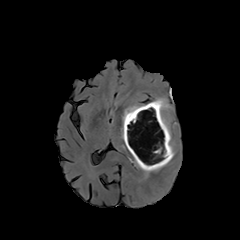
FLAIR MR image.
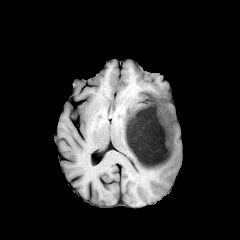
T1-weighted magnetic resonance.
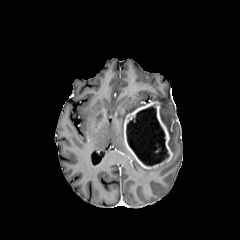
Post-contrast T1-weighted MR image.
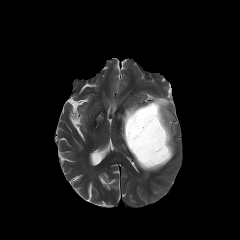
T2-weighted MRI.
Axial plane; Head
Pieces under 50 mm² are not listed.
enhancing_tumor:
  - 124,101,172,169
necrotic_tumor_core:
  - 126,106,168,165
peritumoral_edema:
  - 121,104,144,139
  - 154,97,174,156
  - 134,160,167,172